Slice 57 of 155 | Image width 240 mm, 1.00 mm slice spacing
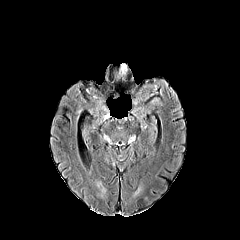
FLAIR magnetic resonance.
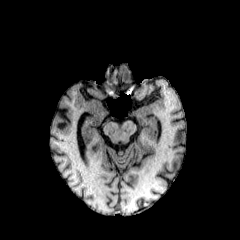
T1-weighted MR image.
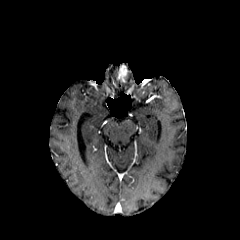
Post-contrast T1-weighted MR image of the same slice.
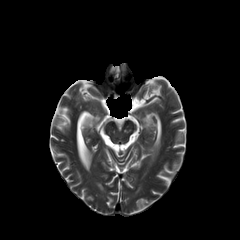
T2-weighted MR image of the same slice.
enhancing_tumor:
  - bbox=[117, 64, 127, 81]